Slice 93/155, Axial slice
FLAIR MR image.
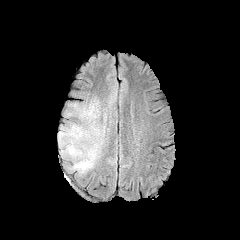
T1-weighted MR.
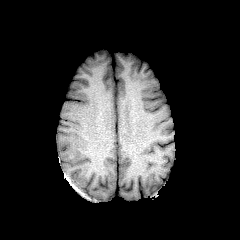
Post-contrast T1-weighted MR image.
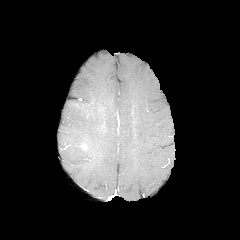
T2-weighted magnetic resonance.
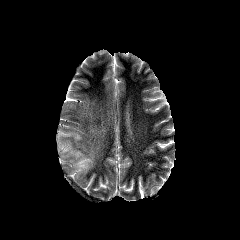
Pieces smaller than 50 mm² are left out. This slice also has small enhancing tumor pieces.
{"peritumoral_edema": ["region(58, 99, 104, 174)"]}